FLAIR MR image.
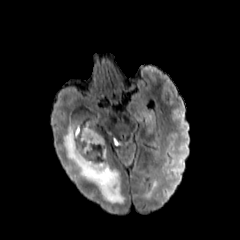
T1-weighted MR image.
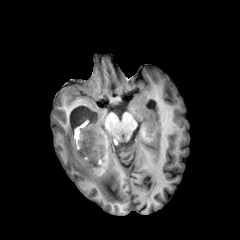
Post-contrast T1-weighted MR.
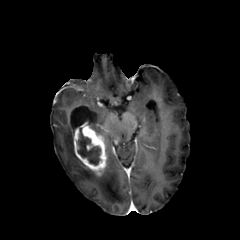
T2-weighted magnetic resonance.
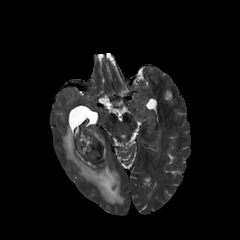
Head.
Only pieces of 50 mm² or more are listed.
The necrotic tumor core is located at x1=78 y1=128 x2=100 y2=164. The enhancing tumor is bounded by x1=73 y1=122 x2=106 y2=175. The largest peritumoral edema region is bounded by x1=63 y1=125 x2=124 y2=203.